Slice 65 of 155. Axial plane. Image width 240 mm.
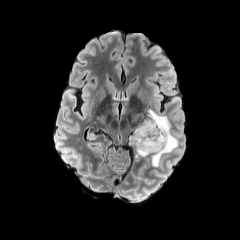
FLAIR MR image.
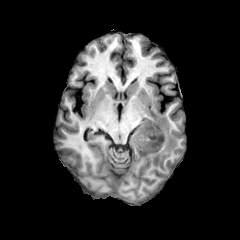
T1-weighted MR.
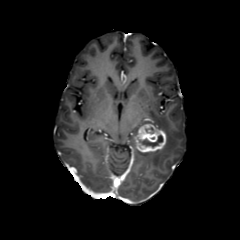
Same slice, post-contrast T1-weighted MRI.
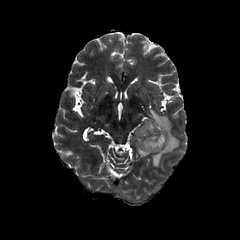
T2-weighted magnetic resonance of the same slice.
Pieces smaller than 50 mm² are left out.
necrotic_tumor_core:
  - l=139, t=135, r=162, b=147
peritumoral_edema:
  - l=129, t=108, r=178, b=168
enhancing_tumor:
  - l=134, t=123, r=166, b=153